FLAIR MRI.
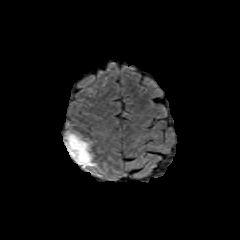
T1-weighted magnetic resonance.
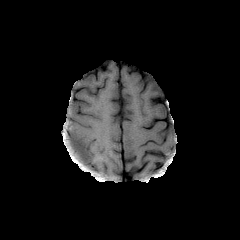
Post-contrast T1-weighted MRI.
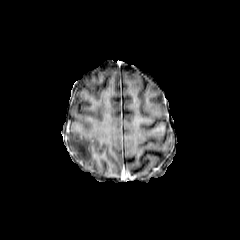
T2-weighted magnetic resonance.
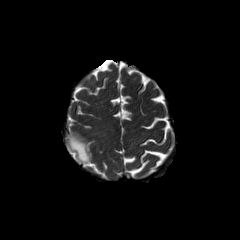
240x240 px.
peritumoral edema: [65, 131, 95, 168]